FLAIR MRI.
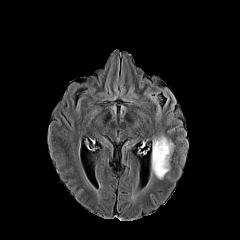
T1-weighted MRI.
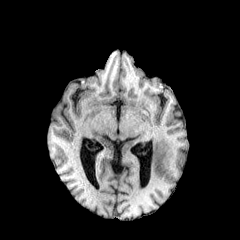
Post-contrast T1-weighted MR image.
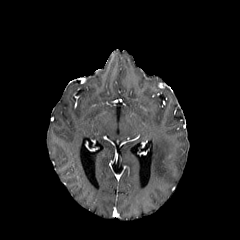
T2-weighted MR image.
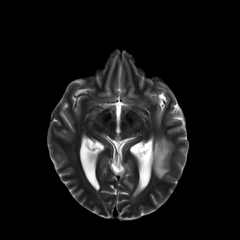
Axial view. Brain.
peritumoral edema at l=152, t=135, r=173, b=179